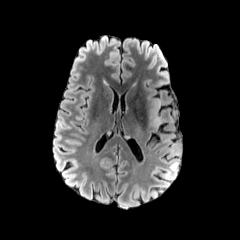
FLAIR MR.
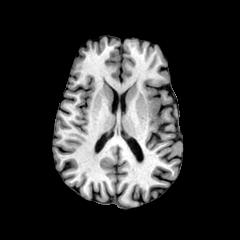
Same slice, T1-weighted MRI.
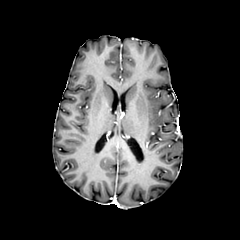
Post-contrast T1-weighted MRI.
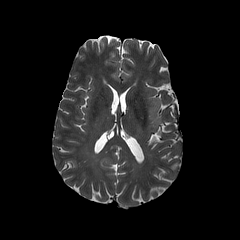
T2-weighted magnetic resonance.
Head. Axial plane. 240x240 px.
peritumoral edema at 150,99,160,125